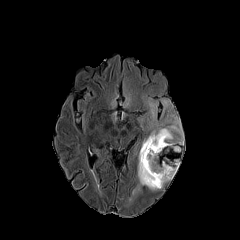
FLAIR MRI.
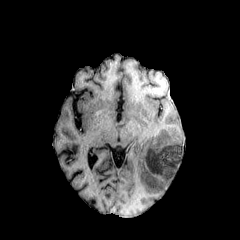
T1-weighted MR.
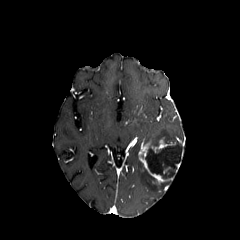
Post-contrast T1-weighted MRI.
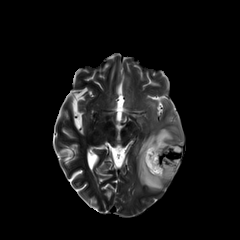
T2-weighted MRI.
Axial plane.
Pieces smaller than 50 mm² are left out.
{"enhancing_tumor": ["139:138:176:184"], "peritumoral_edema": ["138:160:164:190", "144:118:182:144", "149:102:156:118"], "necrotic_tumor_core": ["145:143:182:178"]}